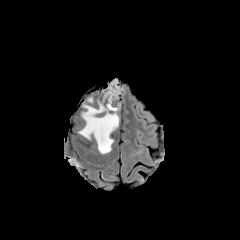
FLAIR MR image.
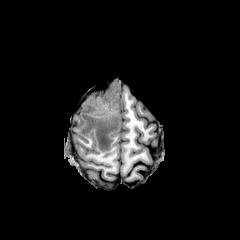
T1-weighted MRI.
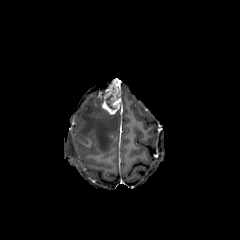
Post-contrast T1-weighted MR.
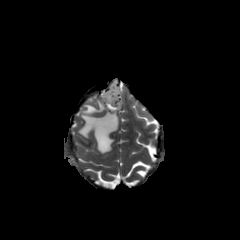
Same slice, T2-weighted MR image.
Axial view; Brain
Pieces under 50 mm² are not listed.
peritumoral edema: bounding box <box>79,101,118,154</box>
enhancing tumor: bounding box <box>102,79,121,114</box>
necrotic tumor core: bounding box <box>106,95,115,109</box>